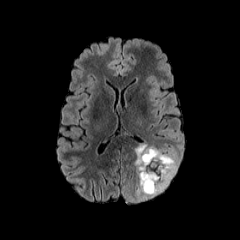
FLAIR magnetic resonance.
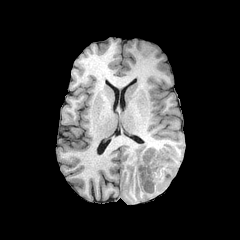
T1-weighted MR.
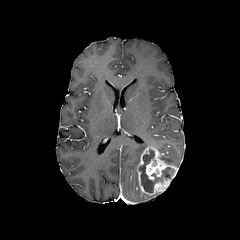
Same slice, post-contrast T1-weighted magnetic resonance.
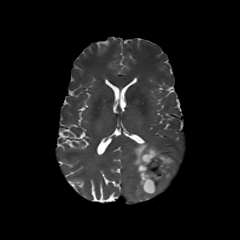
T2-weighted MR image.
Brain
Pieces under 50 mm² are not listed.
peritumoral edema: [x1=134, y1=143, x2=159, y2=199], [x1=157, y1=149, x2=178, y2=167]
enhancing tumor: [x1=137, y1=147, x2=177, y2=194]
necrotic tumor core: [x1=139, y1=148, x2=174, y2=193]